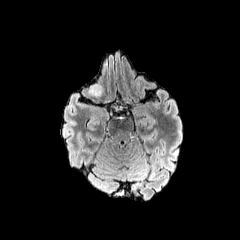
FLAIR MR.
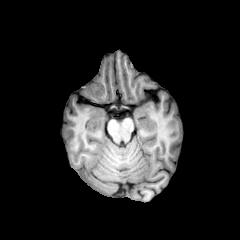
T1-weighted MR.
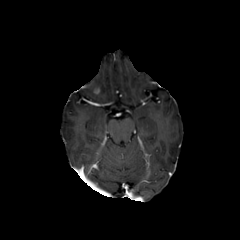
Same slice, post-contrast T1-weighted MR.
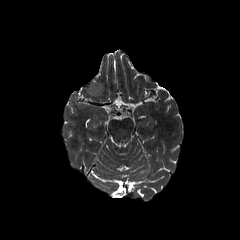
T2-weighted MRI.
Axial view, Head, Image size 240x240
enhancing tumor: [93, 87, 100, 94] | peritumoral edema: [88, 83, 102, 96]